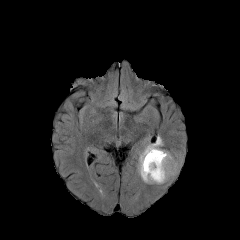
FLAIR MRI.
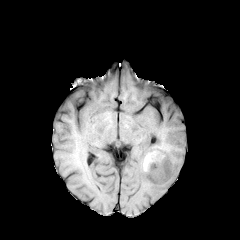
T1-weighted magnetic resonance.
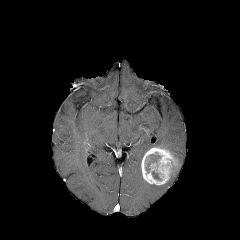
Post-contrast T1-weighted MRI.
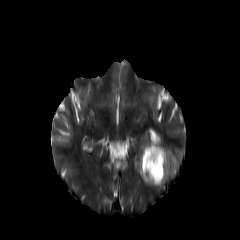
T2-weighted MR image.
240x240 px
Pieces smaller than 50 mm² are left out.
<segmentation>
  <necrotic_tumor_core>152, 171, 160, 180; 145, 153, 160, 172</necrotic_tumor_core>
  <enhancing_tumor>141, 147, 178, 185</enhancing_tumor>
  <peritumoral_edema>136, 134, 163, 183; 170, 151, 182, 178</peritumoral_edema>
</segmentation>